Axial slice.
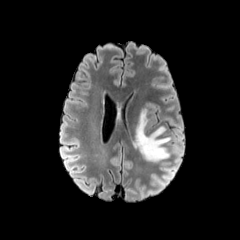
FLAIR MR image.
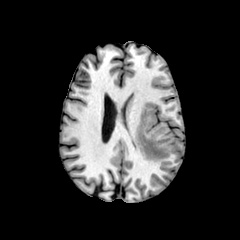
T1-weighted MR image.
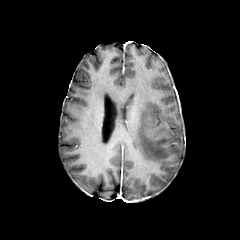
Post-contrast T1-weighted MRI.
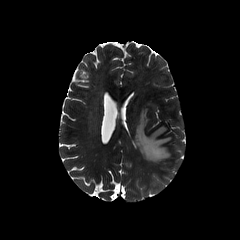
T2-weighted MR.
Annotated regions:
* peritumoral edema: [133,108,171,162]